Image covers 240 mm x 240 mm; Axial view; 240x240 px
FLAIR MR image.
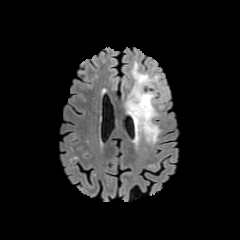
T1-weighted MR.
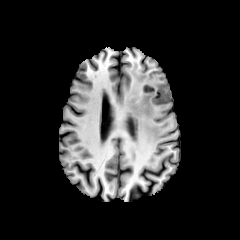
Post-contrast T1-weighted MR.
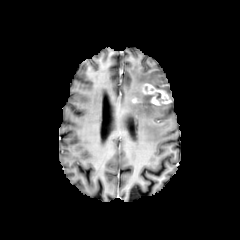
T2-weighted MRI.
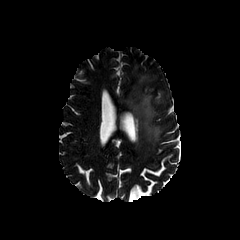
{"peritumoral_edema": ["(x1=126, y1=63, x2=169, y2=143)"], "enhancing_tumor": ["(x1=141, y1=83, x2=171, y2=105)", "(x1=130, y1=97, x2=138, y2=104)"]}